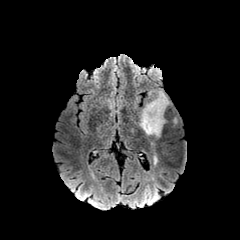
FLAIR magnetic resonance.
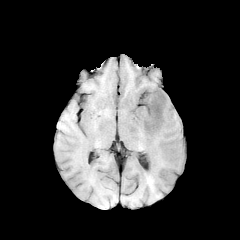
T1-weighted MRI of the same slice.
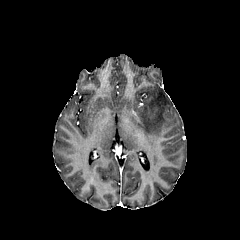
Post-contrast T1-weighted MR.
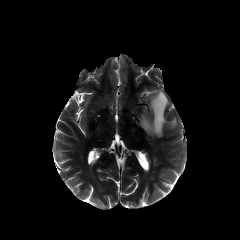
T2-weighted MRI.
Head. Axial view.
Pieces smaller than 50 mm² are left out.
Annotated regions:
• peritumoral edema: rect(139, 90, 169, 136)